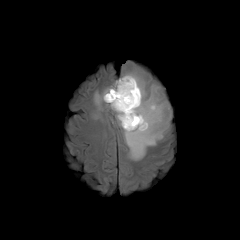
FLAIR MRI.
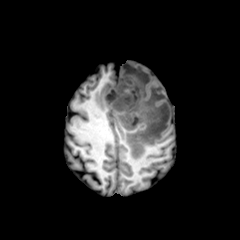
T1-weighted MRI of the same slice.
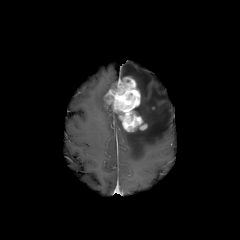
Post-contrast T1-weighted magnetic resonance.
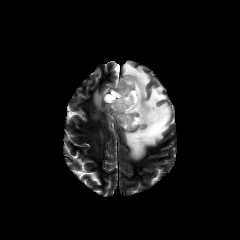
T2-weighted MR.
Brain | Axial slice
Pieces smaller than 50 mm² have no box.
necrotic tumor core: 105 92 120 101
enhancing tumor: 104 76 147 131
peritumoral edema: 115 64 171 160, 94 83 114 109